FLAIR MRI.
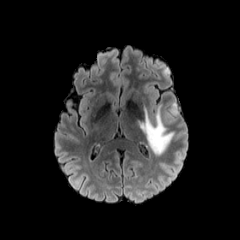
T1-weighted magnetic resonance.
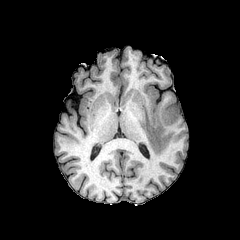
Post-contrast T1-weighted MR image.
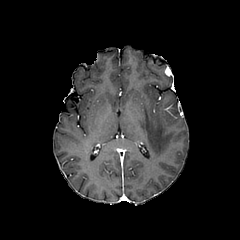
T2-weighted MRI.
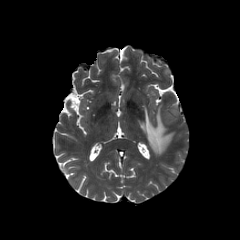
Axial plane
Segmented structures:
• peritumoral edema: x1=137, y1=99, x2=178, y2=155